FLAIR MR.
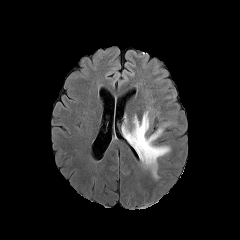
T1-weighted MRI.
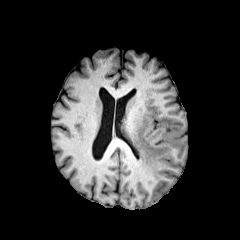
Post-contrast T1-weighted MR image.
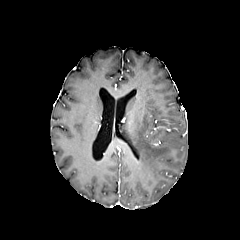
T2-weighted MR.
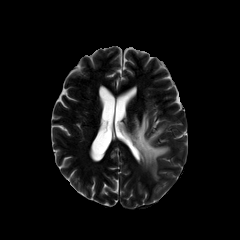
Brain. Image size 240x240.
Segmented structures:
- peritumoral edema: bbox=[125, 111, 170, 178]